FLAIR MR image.
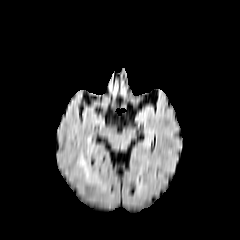
T1-weighted MR image.
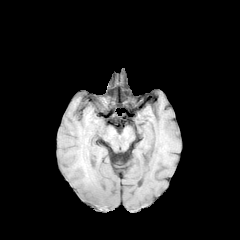
Post-contrast T1-weighted MR image.
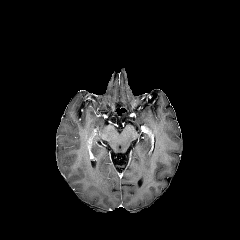
T2-weighted MR image.
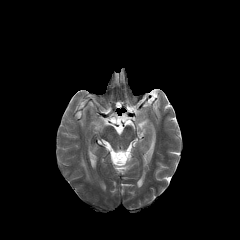
Head
{"peritumoral_edema": ["bbox=[80, 158, 89, 177]"]}